240x240 px | Slice 110/155 | Brain
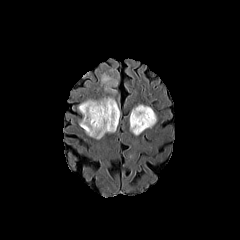
FLAIR MR image.
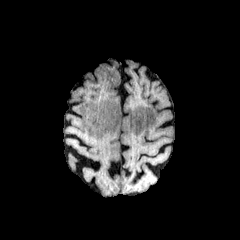
Same slice, T1-weighted MR.
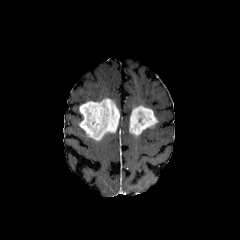
Post-contrast T1-weighted MR.
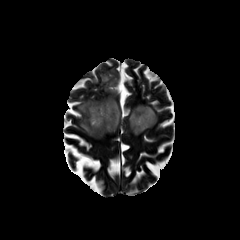
T2-weighted magnetic resonance.
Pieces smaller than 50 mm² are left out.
2 enhancing tumor regions are located at <bbox>129, 105, 157, 135</bbox>, <bbox>79, 98, 119, 140</bbox>. The 2 largest peritumoral edema regions are bounded by <bbox>77, 99, 102, 110</bbox>, <bbox>101, 73, 118, 93</bbox>.